FLAIR MRI.
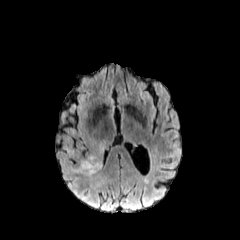
T1-weighted MR.
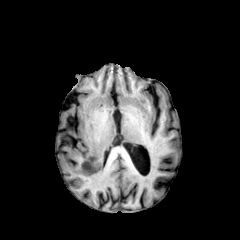
Post-contrast T1-weighted MR image.
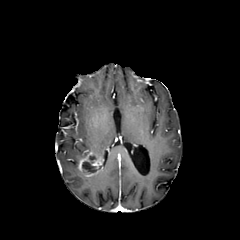
T2-weighted MR image.
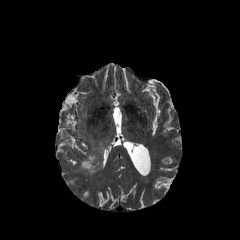
Brain
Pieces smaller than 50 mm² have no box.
The necrotic tumor core appears at (82, 156, 96, 173). The 2 largest peritumoral edema regions appear at (91, 166, 103, 186), (91, 141, 105, 156). The enhancing tumor lies within (78, 151, 101, 176).